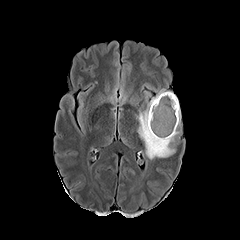
FLAIR MRI.
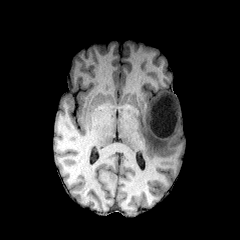
T1-weighted MRI of the same slice.
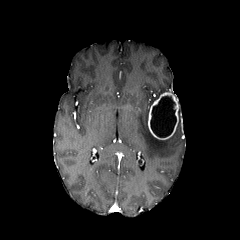
Same slice, post-contrast T1-weighted MR.
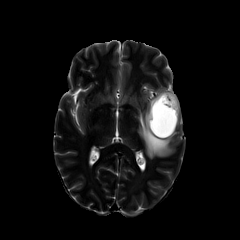
T2-weighted MRI.
Axial view; Image size 240x240; Head
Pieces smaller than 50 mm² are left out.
The necrotic tumor core appears at [150, 95, 176, 137]. The 2 largest peritumoral edema regions are located at [178, 104, 182, 126], [137, 89, 179, 159]. The enhancing tumor appears at [148, 92, 178, 139].